FLAIR magnetic resonance.
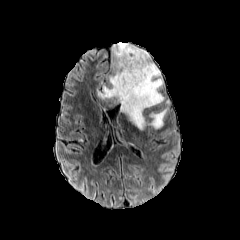
T1-weighted MRI.
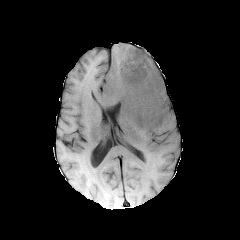
Post-contrast T1-weighted magnetic resonance.
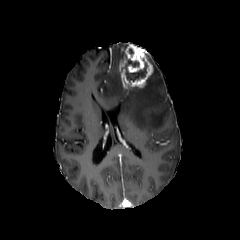
T2-weighted MRI.
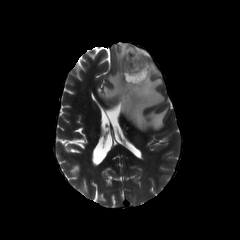
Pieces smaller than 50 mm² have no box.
peritumoral_edema:
  - l=98, t=44, r=167, b=130
necrotic_tumor_core:
  - l=125, t=59, r=147, b=81
enhancing_tumor:
  - l=119, t=43, r=153, b=90